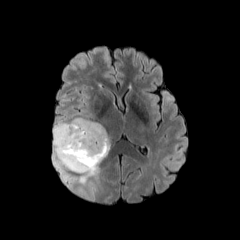
FLAIR MRI.
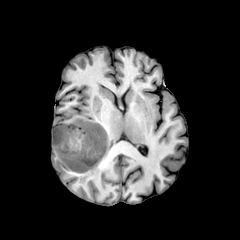
T1-weighted magnetic resonance of the same slice.
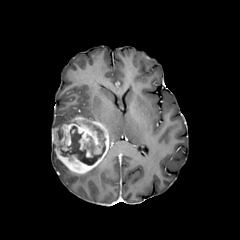
Post-contrast T1-weighted MR.
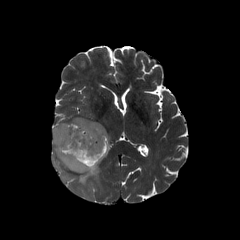
Same slice, T2-weighted MR.
240x240, Brain, Axial plane
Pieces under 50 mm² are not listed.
Findings:
* peritumoral edema: left=53, top=144, right=69, bottom=180; left=79, top=165, right=98, bottom=183
* enhancing tumor: left=52, top=116, right=109, bottom=173
* necrotic tumor core: left=60, top=125, right=105, bottom=165